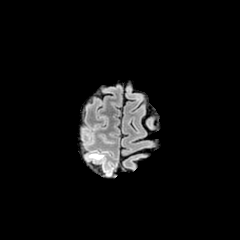
FLAIR MR.
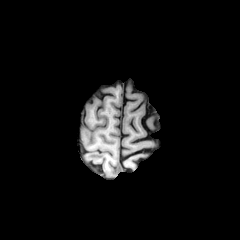
T1-weighted MR.
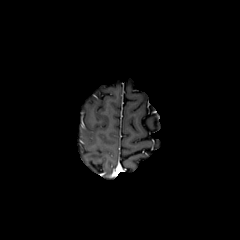
Post-contrast T1-weighted MR.
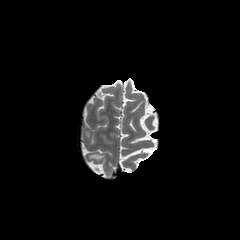
T2-weighted MR image.
Axial plane; Brain
{"peritumoral_edema": ["box=[88, 154, 103, 159]"]}